Axial view | Image width 240 mm | Slice index 71 | 240x240
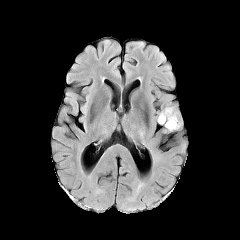
FLAIR MRI.
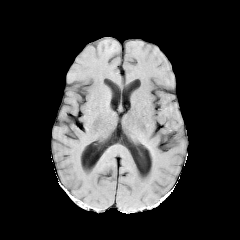
Same slice, T1-weighted magnetic resonance.
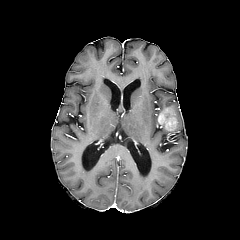
Same slice, post-contrast T1-weighted MRI.
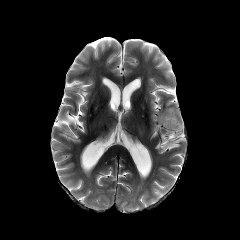
T2-weighted magnetic resonance.
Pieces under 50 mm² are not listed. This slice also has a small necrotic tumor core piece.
Findings:
• peritumoral edema: 171,107,182,130
• enhancing tumor: 158,107,177,130